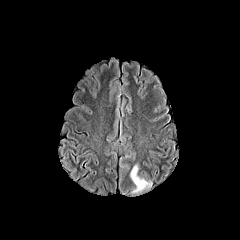
FLAIR magnetic resonance.
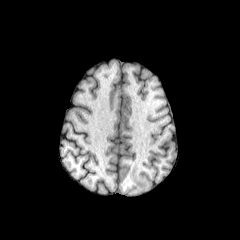
T1-weighted MR.
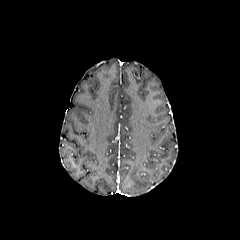
Post-contrast T1-weighted MRI of the same slice.
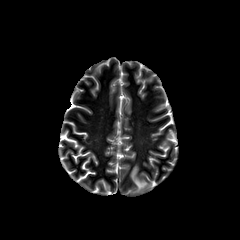
T2-weighted MRI.
Segmented structures:
* peritumoral edema: bbox=[130, 165, 151, 192]